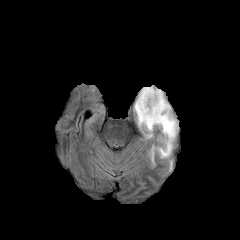
FLAIR MR.
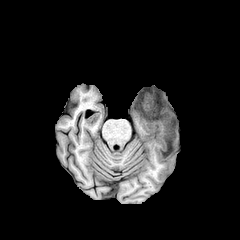
T1-weighted magnetic resonance.
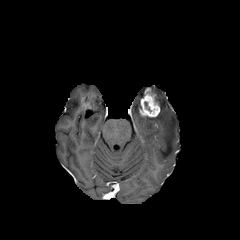
Post-contrast T1-weighted MR.
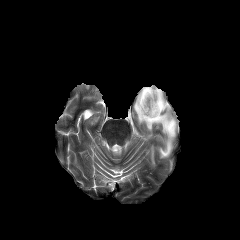
T2-weighted magnetic resonance.
Axial slice.
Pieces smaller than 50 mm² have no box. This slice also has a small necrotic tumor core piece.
enhancing tumor — bbox(139, 87, 160, 116)
peritumoral edema — bbox(151, 146, 154, 163); bbox(134, 87, 178, 158)